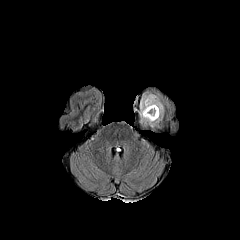
FLAIR magnetic resonance.
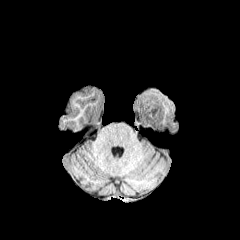
T1-weighted MR image.
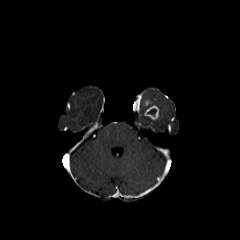
Post-contrast T1-weighted MR image of the same slice.
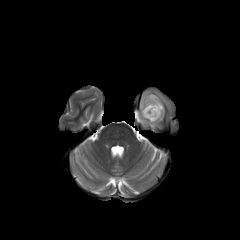
T2-weighted MRI of the same slice.
Head | Axial slice
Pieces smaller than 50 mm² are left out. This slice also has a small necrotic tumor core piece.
The enhancing tumor is at [144,100,159,119]. The peritumoral edema is bounded by [139,92,164,127].